FLAIR MR.
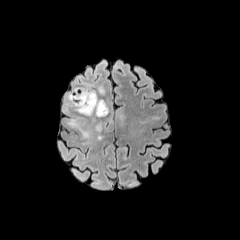
T1-weighted MR.
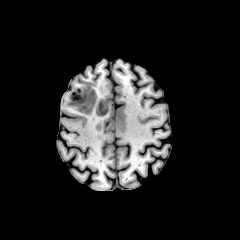
Post-contrast T1-weighted magnetic resonance.
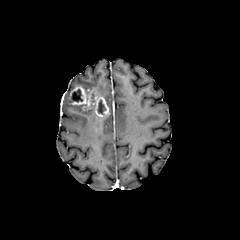
T2-weighted MR.
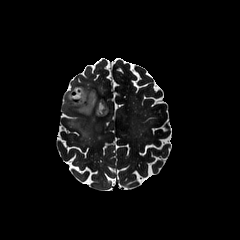
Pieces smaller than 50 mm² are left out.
The 3 largest peritumoral edema regions appear at 94:122:104:140, 65:92:94:116, 68:119:89:137. The enhancing tumor is bounded by 69:86:109:117. The 2 largest necrotic tumor core regions appear at 72:89:82:101, 97:100:106:114.